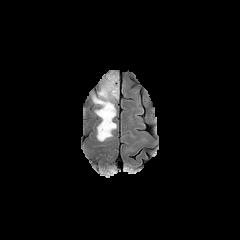
FLAIR magnetic resonance.
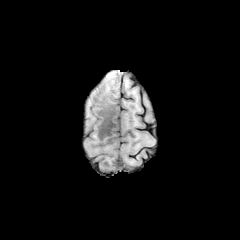
Same slice, T1-weighted magnetic resonance.
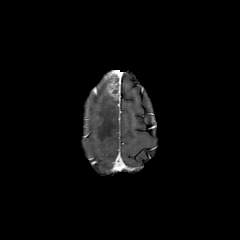
Same slice, post-contrast T1-weighted magnetic resonance.
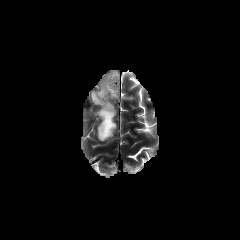
T2-weighted magnetic resonance.
Brain
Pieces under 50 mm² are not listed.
enhancing tumor at <bbox>105, 70, 119, 99</bbox>
peritumoral edema at <bbox>92, 81, 116, 141</bbox>